Slice 58/155 | Image size 240x240
FLAIR MRI.
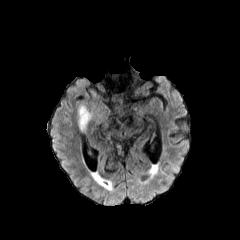
T1-weighted MRI.
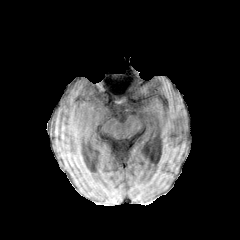
Post-contrast T1-weighted MR image.
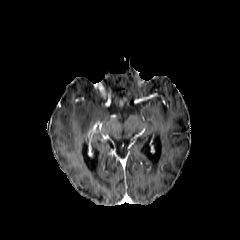
T2-weighted magnetic resonance.
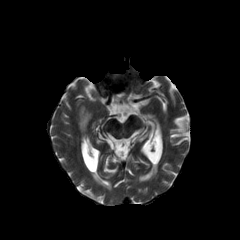
The peritumoral edema lies within 78 106 91 130.